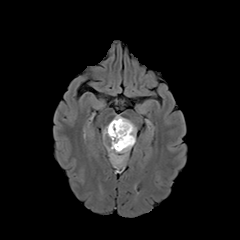
FLAIR MR image.
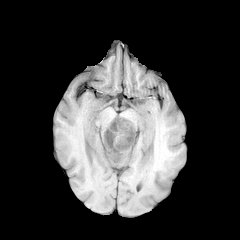
Same slice, T1-weighted magnetic resonance.
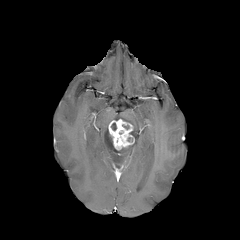
Same slice, post-contrast T1-weighted MRI.
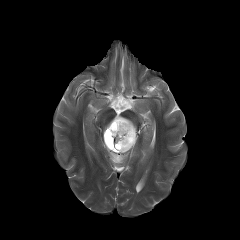
T2-weighted MRI.
Head | Axial plane | Image size 240x240
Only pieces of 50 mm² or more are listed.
necrotic tumor core: bbox(106, 129, 113, 147) | enhancing tumor: bbox(108, 119, 134, 150) | peritumoral edema: bbox(113, 115, 136, 142); bbox(103, 124, 134, 168)